FLAIR MR.
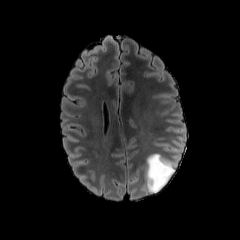
T1-weighted MRI.
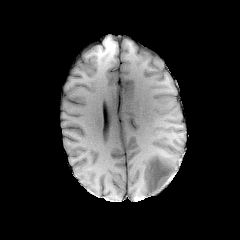
Post-contrast T1-weighted MR image.
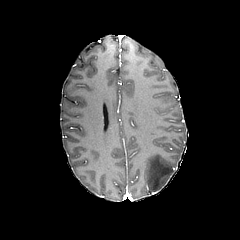
T2-weighted MRI.
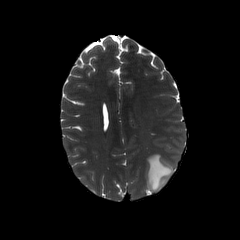
Head.
Annotated regions:
• peritumoral edema: box=[145, 153, 175, 192]